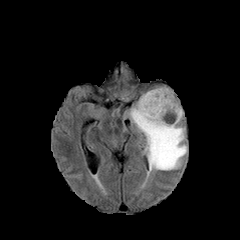
FLAIR MRI.
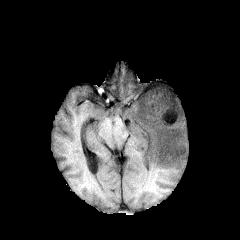
Same slice, T1-weighted MRI.
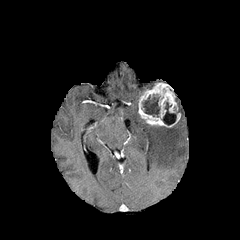
Same slice, post-contrast T1-weighted MR image.
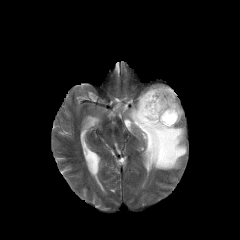
T2-weighted magnetic resonance of the same slice.
240x240; Brain
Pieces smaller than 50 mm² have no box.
necrotic_tumor_core:
  - <box>143,95,160,116</box>
  - <box>162,102,176,125</box>
enhancing_tumor:
  - <box>138,83,181,127</box>
peritumoral_edema:
  - <box>127,101,187,171</box>